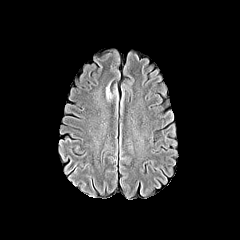
FLAIR MR image.
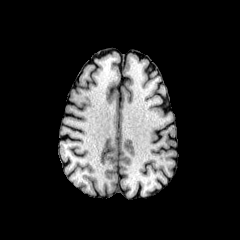
Same slice, T1-weighted magnetic resonance.
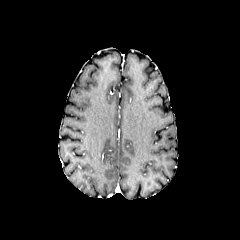
Post-contrast T1-weighted MR of the same slice.
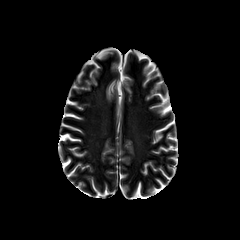
T2-weighted MR.
Head; Axial slice
The peritumoral edema appears at (105, 78, 117, 102).